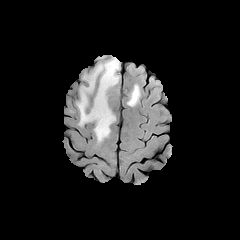
FLAIR MR image.
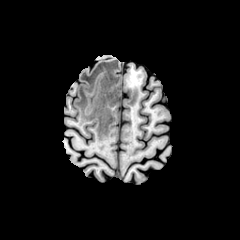
T1-weighted MRI.
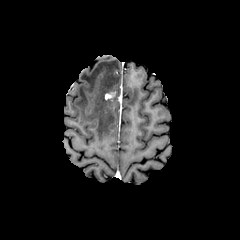
Post-contrast T1-weighted MRI.
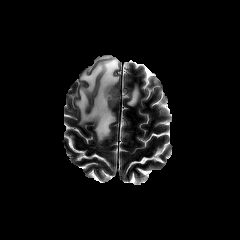
Same slice, T2-weighted MR.
240x240 px, Axial slice
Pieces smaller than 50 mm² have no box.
peritumoral edema at [127,84,140,106], [76,57,119,142]
enhancing tumor at [105,91,116,100]